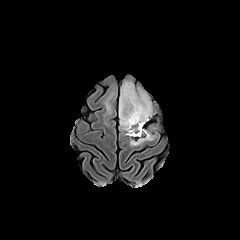
FLAIR MR image.
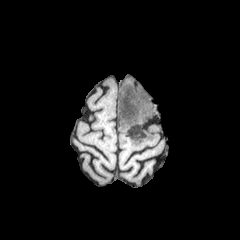
Same slice, T1-weighted MR.
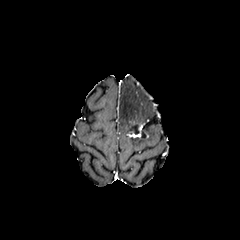
Post-contrast T1-weighted magnetic resonance.
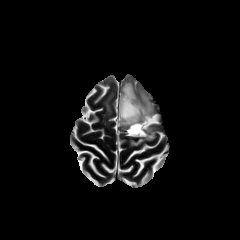
Same slice, T2-weighted MR image.
Brain.
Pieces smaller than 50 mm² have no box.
Segmented structures:
* necrotic tumor core: (122,93,139,134)
* enhancing tumor: (127,123,144,137)
* peritumoral edema: (130,130,154,145), (105,96,110,112), (119,81,152,134)